Slice 89/155, Axial slice
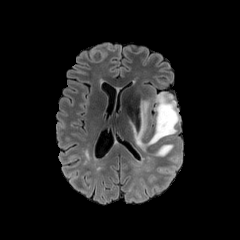
FLAIR magnetic resonance.
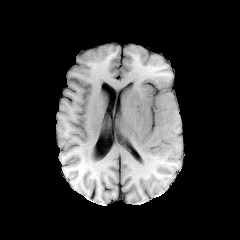
T1-weighted magnetic resonance of the same slice.
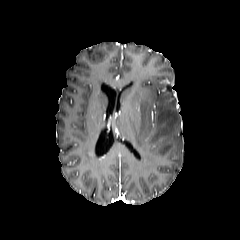
Post-contrast T1-weighted MR image.
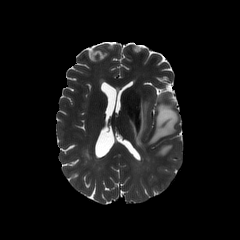
T2-weighted MRI.
<segmentation>
  <peritumoral_edema>[155,144,173,155], [132,92,179,151]</peritumoral_edema>
</segmentation>